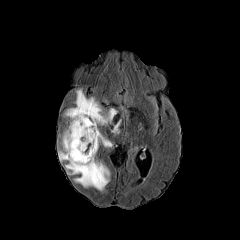
FLAIR MR image.
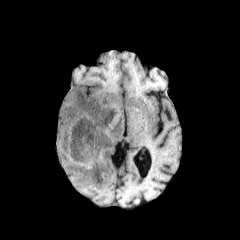
Same slice, T1-weighted MR.
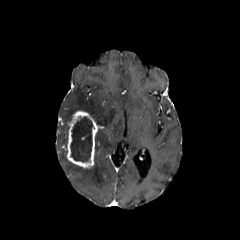
Post-contrast T1-weighted magnetic resonance.
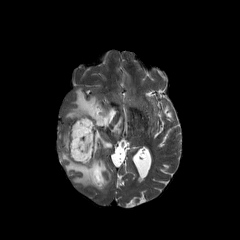
T2-weighted MRI.
Axial view. Brain.
necrotic tumor core: box(70, 116, 92, 161) | enhancing tumor: box(66, 111, 97, 168) | peritumoral edema: box(65, 155, 110, 190); box(59, 150, 67, 160); box(63, 131, 68, 148); box(95, 130, 112, 154); box(65, 89, 116, 125); box(112, 120, 120, 132)